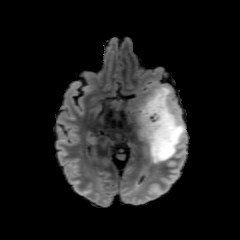
FLAIR MR.
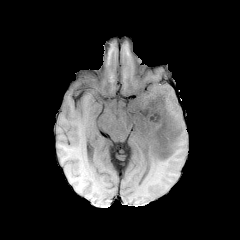
T1-weighted MR of the same slice.
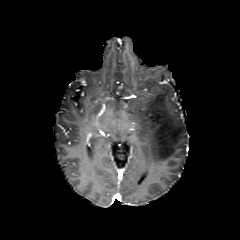
Post-contrast T1-weighted MR of the same slice.
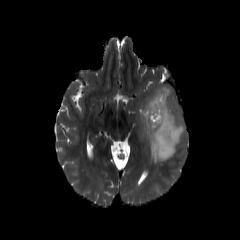
Same slice, T2-weighted MR image.
240x240 px. Brain.
peritumoral edema: bbox(137, 85, 186, 163)